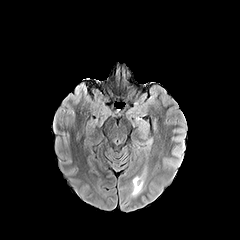
FLAIR magnetic resonance.
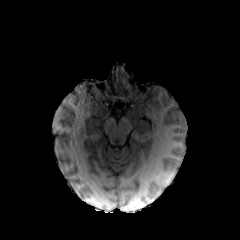
T1-weighted magnetic resonance of the same slice.
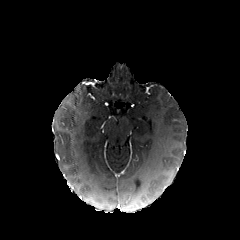
Post-contrast T1-weighted MR image.
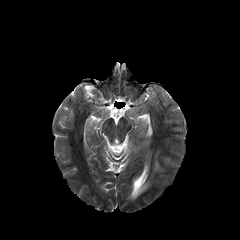
Same slice, T2-weighted MR.
Brain | Axial slice
The peritumoral edema is at <bbox>130, 165, 147, 197</bbox>.